240x240, Head
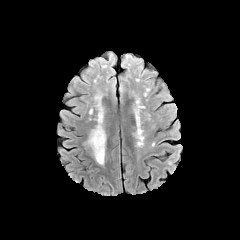
FLAIR MR.
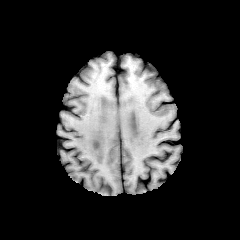
T1-weighted MRI of the same slice.
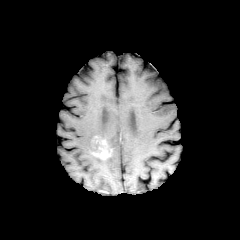
Post-contrast T1-weighted MR image of the same slice.
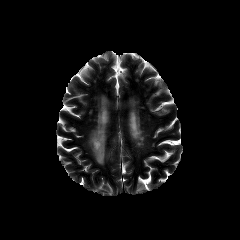
T2-weighted MR image.
<segmentation>
  <peritumoral_edema><bbox>94, 156, 104, 164</bbox>, <bbox>88, 117, 106, 151</bbox></peritumoral_edema>
  <enhancing_tumor><bbox>92, 136, 109, 159</bbox></enhancing_tumor>
</segmentation>